FLAIR MR image.
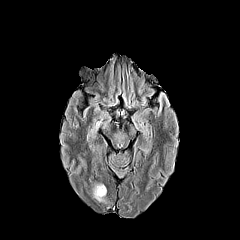
T1-weighted MR.
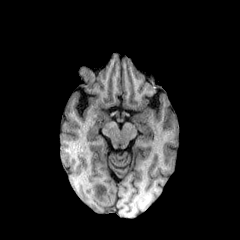
Post-contrast T1-weighted MR image.
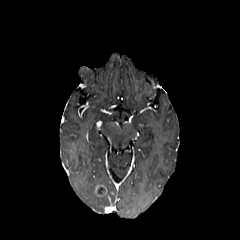
T2-weighted MRI.
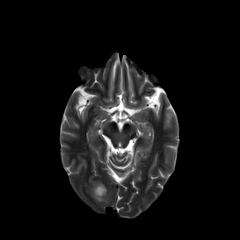
Head.
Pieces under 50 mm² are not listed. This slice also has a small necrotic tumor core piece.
The peritumoral edema lies within bbox(93, 192, 105, 201). The enhancing tumor is at bbox(94, 184, 106, 196).